FLAIR MR image.
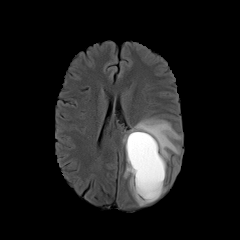
T1-weighted magnetic resonance.
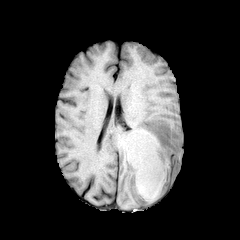
Post-contrast T1-weighted MRI.
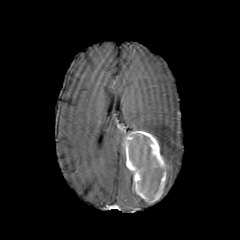
T2-weighted MR.
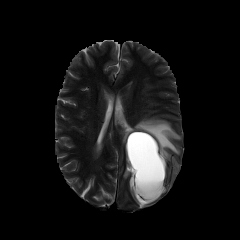
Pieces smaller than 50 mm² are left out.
The enhancing tumor is located at bbox=[125, 131, 166, 202]. The necrotic tumor core is located at bbox=[129, 135, 163, 198]. The 3 largest peritumoral edema regions are bounded by bbox=[124, 166, 151, 206]; bbox=[172, 158, 179, 175]; bbox=[122, 117, 181, 164].